240x240 px; Slice 51/155; Image width 240 mm; Axial slice
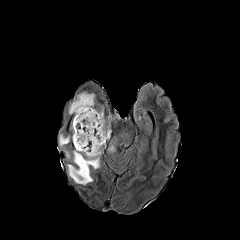
FLAIR MR.
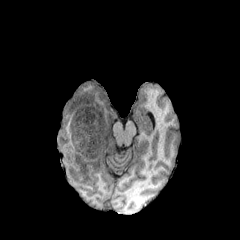
T1-weighted MR.
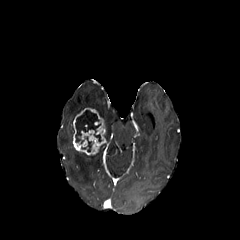
Post-contrast T1-weighted magnetic resonance.
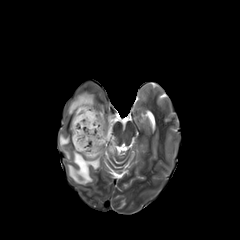
Same slice, T2-weighted magnetic resonance.
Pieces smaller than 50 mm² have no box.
Segmented structures:
- enhancing tumor: left=73, top=107, right=106, bottom=155
- necrotic tumor core: left=75, top=110, right=101, bottom=143; left=85, top=137, right=91, bottom=151
- peritumoral edema: left=105, top=125, right=111, bottom=139; left=67, top=146, right=102, bottom=184; left=59, top=134, right=70, bottom=158; left=68, top=92, right=94, bottom=115